FLAIR magnetic resonance.
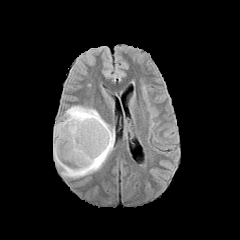
T1-weighted magnetic resonance.
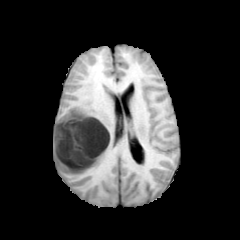
Post-contrast T1-weighted MRI.
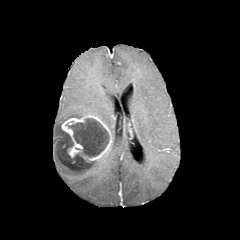
T2-weighted MR image.
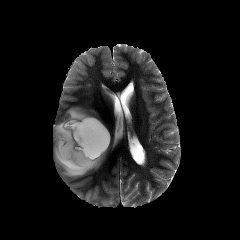
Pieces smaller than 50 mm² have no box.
necrotic tumor core at bbox(66, 118, 110, 157)
enhancing tumor at bbox(61, 115, 111, 161)
peritumoral edema at bbox(53, 106, 114, 178)